Slice 71/155.
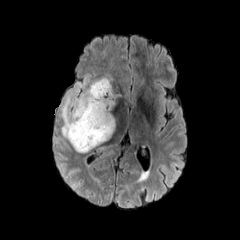
FLAIR MR.
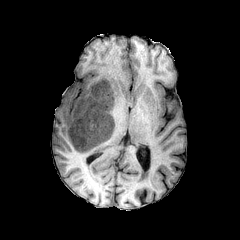
T1-weighted MR.
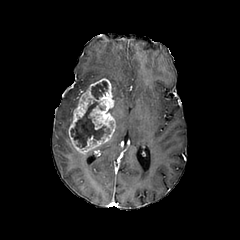
Same slice, post-contrast T1-weighted magnetic resonance.
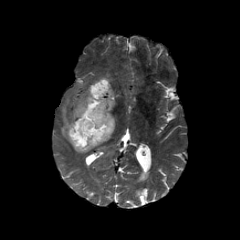
T2-weighted MR image.
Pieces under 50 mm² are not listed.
The largest peritumoral edema region appears at region(57, 74, 113, 143). The largest enhancing tumor region appears at region(68, 78, 115, 154). The 2 largest necrotic tumor core regions are located at region(70, 100, 105, 147); region(91, 81, 107, 99).